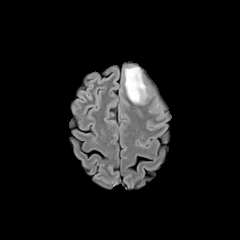
FLAIR MR image.
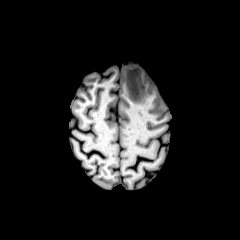
Same slice, T1-weighted MR.
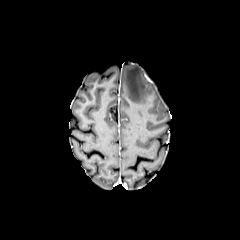
Post-contrast T1-weighted MR image.
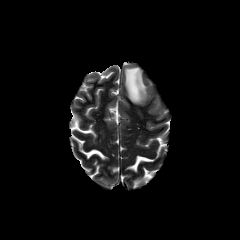
T2-weighted MR image.
Axial slice
The peritumoral edema is bounded by bbox(124, 67, 146, 103).